FLAIR MR image.
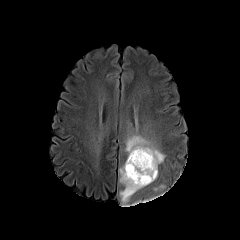
T1-weighted MR.
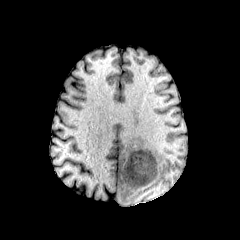
Post-contrast T1-weighted magnetic resonance.
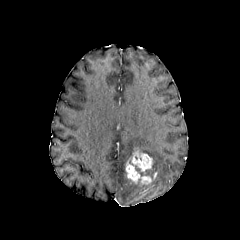
T2-weighted MRI.
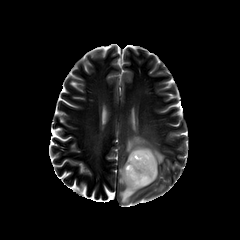
Axial plane. Brain.
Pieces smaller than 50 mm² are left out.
enhancing tumor = box=[125, 148, 157, 185]
peritumoral edema = box=[125, 135, 164, 178]; box=[119, 164, 147, 204]
necrotic tumor core = box=[145, 163, 156, 177]